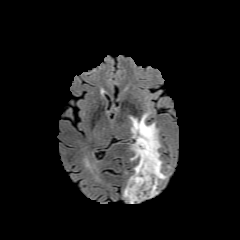
FLAIR MRI.
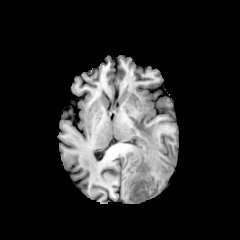
T1-weighted MR.
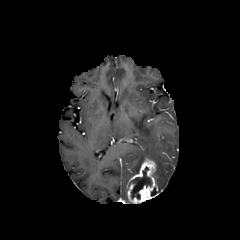
Same slice, post-contrast T1-weighted MRI.
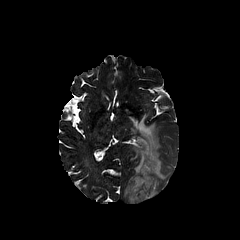
T2-weighted MRI of the same slice.
Head; 240x240 px
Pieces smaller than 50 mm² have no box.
The largest peritumoral edema region is bounded by (130,113,167,184). The enhancing tumor lies within (126,158,157,203). The largest necrotic tumor core region is at (130,167,151,198).